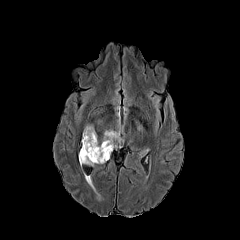
FLAIR MR image.
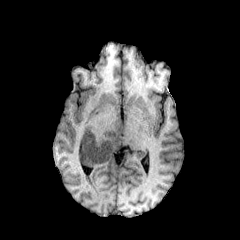
T1-weighted MRI.
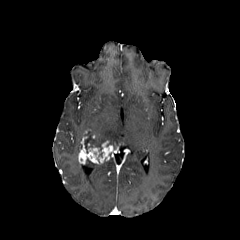
Post-contrast T1-weighted MRI of the same slice.
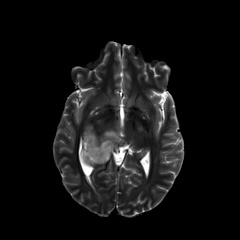
Same slice, T2-weighted MR.
Head
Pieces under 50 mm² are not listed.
Findings:
* peritumoral edema: bbox(84, 125, 95, 134); bbox(102, 118, 123, 147)
* necrotic tumor core: bbox(84, 131, 102, 153)
* enhancing tumor: bbox(78, 136, 113, 164)